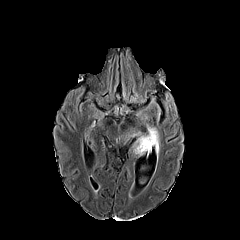
FLAIR MRI.
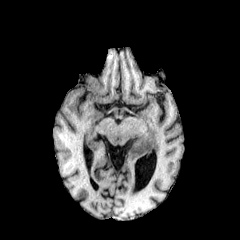
T1-weighted magnetic resonance.
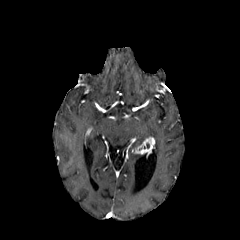
Post-contrast T1-weighted MR.
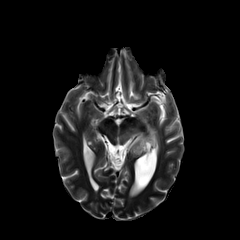
T2-weighted MRI.
Image size 240x240
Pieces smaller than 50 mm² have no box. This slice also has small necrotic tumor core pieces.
{"peritumoral_edema": ["[125, 127, 159, 153]"], "enhancing_tumor": ["[132, 136, 155, 154]"]}